Head, 240x240
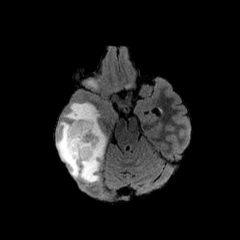
FLAIR MR image.
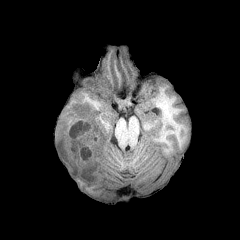
Same slice, T1-weighted MRI.
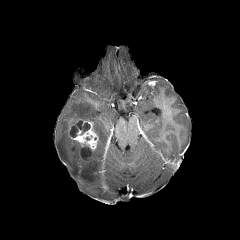
Same slice, post-contrast T1-weighted MRI.
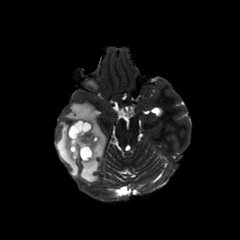
T2-weighted magnetic resonance of the same slice.
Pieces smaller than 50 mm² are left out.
peritumoral edema at {"x1": 86, "y1": 80, "x2": 97, "y2": 88}, {"x1": 56, "y1": 102, "x2": 106, "y2": 182}
enhancing tumor at {"x1": 68, "y1": 119, "x2": 98, "y2": 160}
necrotic tumor core at {"x1": 80, "y1": 147, "x2": 91, "y2": 159}, {"x1": 70, "y1": 121, "x2": 90, "y2": 137}